Axial slice; Slice 73 of 155; Brain
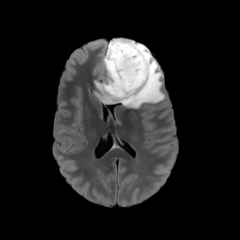
FLAIR MRI.
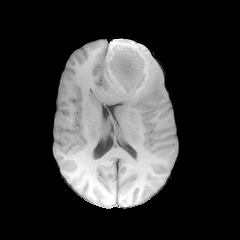
T1-weighted MR image.
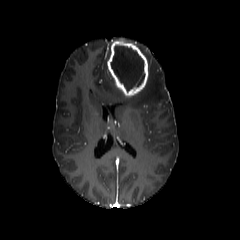
Post-contrast T1-weighted magnetic resonance.
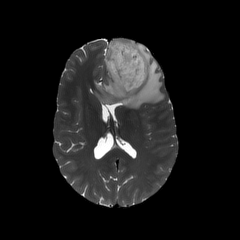
Same slice, T2-weighted MR image.
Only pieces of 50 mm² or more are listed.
peritumoral edema: x1=93 y1=38 x2=164 y2=108
necrotic tumor core: x1=110 y1=45 x2=143 y2=91
enhancing tumor: x1=107 y1=40 x2=148 y2=97